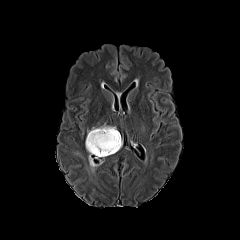
FLAIR magnetic resonance.
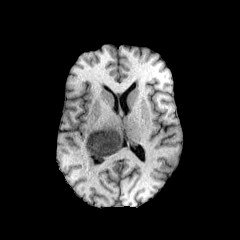
T1-weighted magnetic resonance.
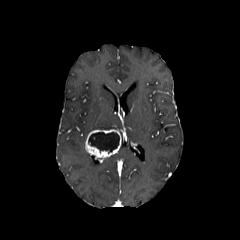
Post-contrast T1-weighted MR.
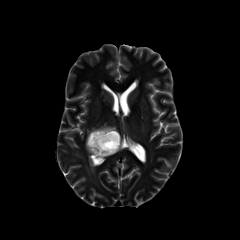
T2-weighted MR.
Head
necrotic_tumor_core:
  - <box>88,132,119,153</box>
enhancing_tumor:
  - <box>85,129,121,158</box>
peritumoral_edema:
  - <box>88,155,97,172</box>
  - <box>87,123,115,134</box>